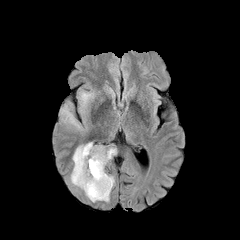
FLAIR MR.
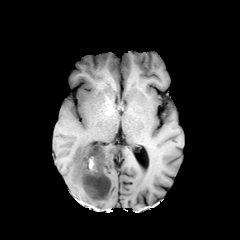
T1-weighted MR image of the same slice.
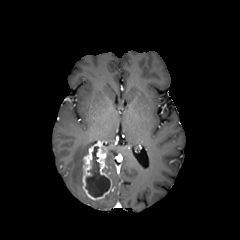
Same slice, post-contrast T1-weighted MR image.
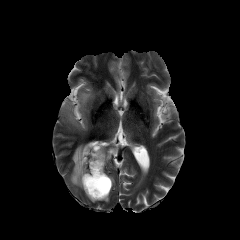
T2-weighted MRI.
Axial slice; Brain
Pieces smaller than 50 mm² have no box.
necrotic tumor core: 86 146 110 197 | enhancing tumor: 82 143 112 200 | peritumoral edema: 105 147 116 163, 70 142 94 189, 62 105 81 129, 80 92 93 107